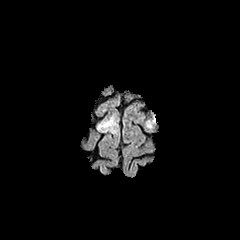
FLAIR MR.
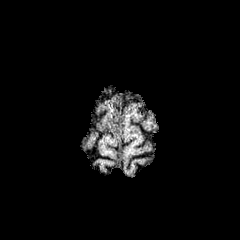
Same slice, T1-weighted magnetic resonance.
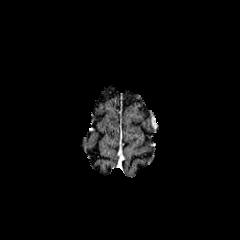
Same slice, post-contrast T1-weighted MR.
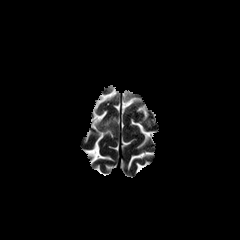
Same slice, T2-weighted MR image.
Brain
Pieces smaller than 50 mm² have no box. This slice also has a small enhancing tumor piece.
peritumoral edema: bounding box [98, 116, 117, 133]